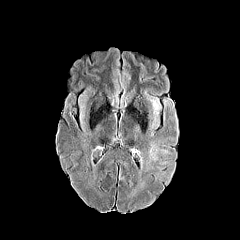
FLAIR MRI.
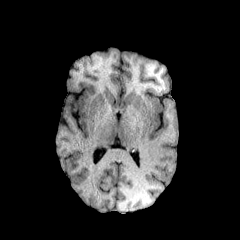
T1-weighted MR of the same slice.
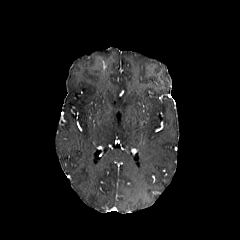
Post-contrast T1-weighted MRI of the same slice.
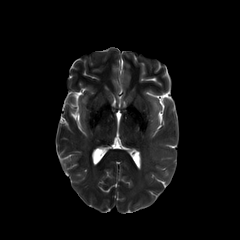
T2-weighted magnetic resonance.
Brain
{"peritumoral_edema": ["(left=149, top=138, right=175, bottom=160)"]}